FLAIR MRI.
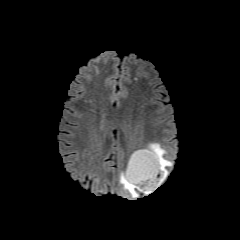
T1-weighted MR image.
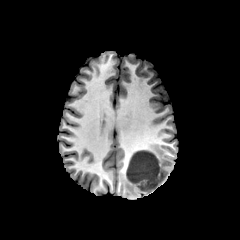
Post-contrast T1-weighted MRI.
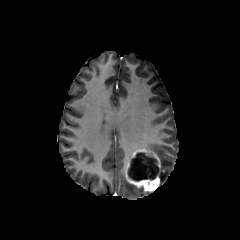
T2-weighted MR image.
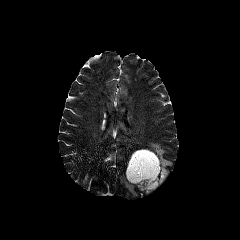
Image size 240x240. Brain.
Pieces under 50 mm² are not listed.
peritumoral edema at <box>145,143,172,184</box>, <box>120,172,150,197</box>
necrotic tumor core at <box>128,152,159,180</box>
enhancing tumor at <box>125,149,160,191</box>